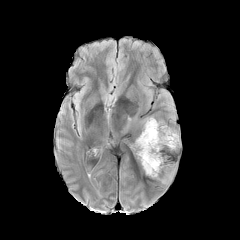
FLAIR magnetic resonance.
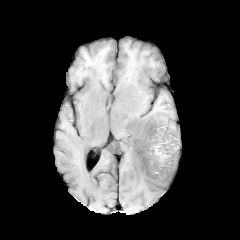
T1-weighted magnetic resonance of the same slice.
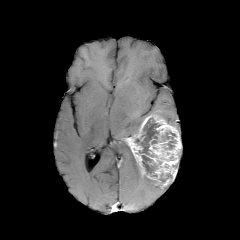
Post-contrast T1-weighted magnetic resonance.
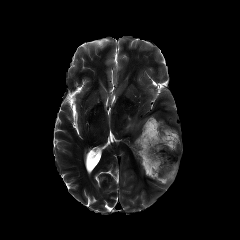
T2-weighted magnetic resonance.
Image size 240x240 | Brain
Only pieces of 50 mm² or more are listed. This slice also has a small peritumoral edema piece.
<segmentation>
  <enhancing_tumor>x1=127, y1=115, x2=181, y2=186</enhancing_tumor>
  <necrotic_tumor_core>x1=142, y1=155, x2=156, y2=173; x1=162, y1=132, x2=175, y2=149; x1=135, y1=118, x2=160, y2=154</necrotic_tumor_core>
</segmentation>